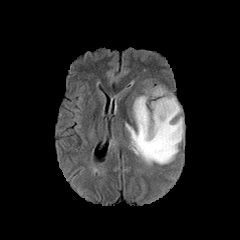
FLAIR MRI.
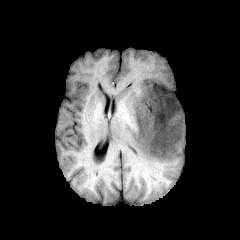
T1-weighted magnetic resonance.
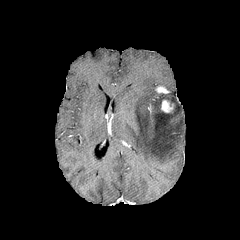
Post-contrast T1-weighted MRI.
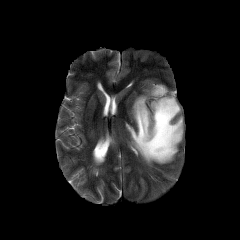
T2-weighted MRI.
Head
enhancing tumor at 160, 99, 174, 112; 155, 85, 168, 94
peritumoral edema at 125, 87, 183, 164